Brain.
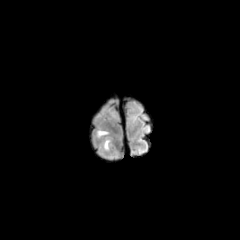
FLAIR MR image.
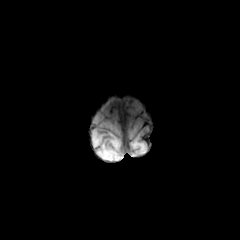
Same slice, T1-weighted MR.
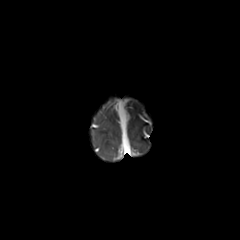
Same slice, post-contrast T1-weighted MR image.
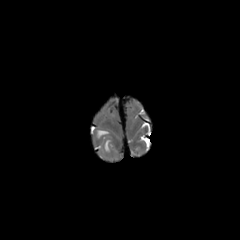
T2-weighted magnetic resonance of the same slice.
2 peritumoral edema regions are located at box=[103, 139, 110, 152]; box=[96, 130, 108, 138].